FLAIR magnetic resonance.
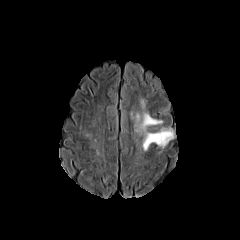
T1-weighted MRI.
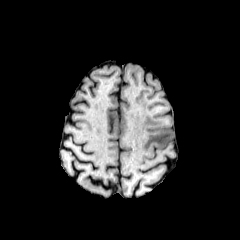
Post-contrast T1-weighted MRI.
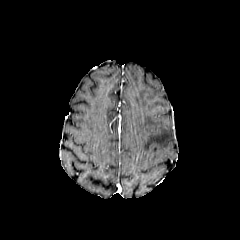
T2-weighted magnetic resonance.
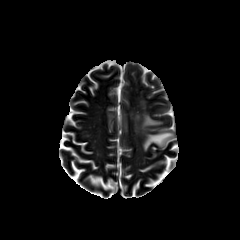
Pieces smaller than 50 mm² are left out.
The largest peritumoral edema region is bounded by [x1=135, y1=112, x2=174, y2=150].